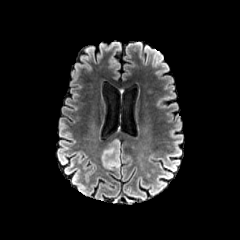
FLAIR magnetic resonance.
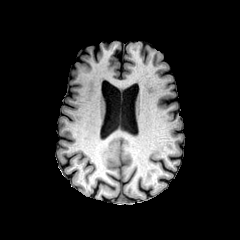
T1-weighted magnetic resonance.
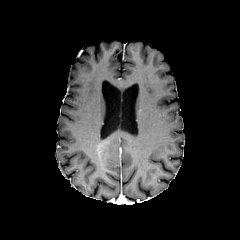
Post-contrast T1-weighted MR.
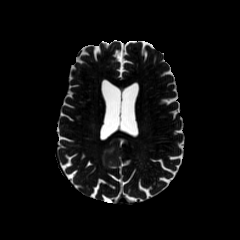
T2-weighted magnetic resonance of the same slice.
Axial slice
<segmentation>
  <peritumoral_edema><box>102,139,120,169</box></peritumoral_edema>
</segmentation>